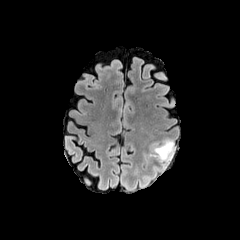
FLAIR MR image.
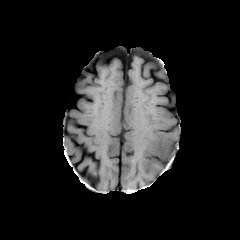
T1-weighted magnetic resonance.
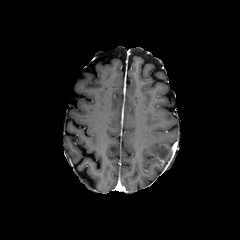
Same slice, post-contrast T1-weighted magnetic resonance.
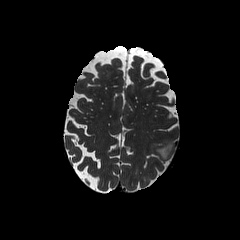
T2-weighted magnetic resonance.
{"enhancing_tumor": ["region(166, 144, 172, 157)"], "peritumoral_edema": ["region(153, 139, 173, 168)"]}